FLAIR magnetic resonance.
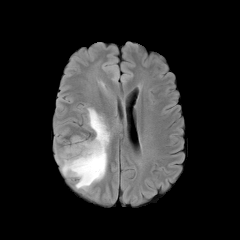
T1-weighted MR image.
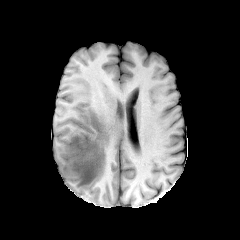
Post-contrast T1-weighted MR image.
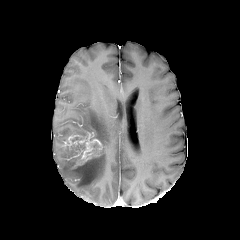
T2-weighted MR image.
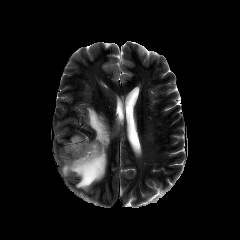
Axial slice
Findings:
* enhancing tumor: (64,135,102,167)
* peritumoral edema: (57,108,110,191)